FLAIR magnetic resonance.
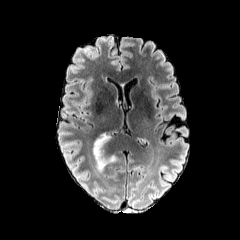
T1-weighted MR image.
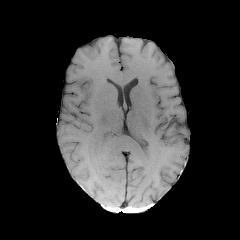
Post-contrast T1-weighted MR.
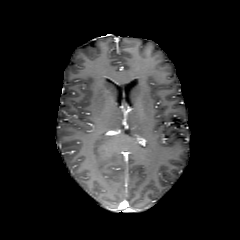
T2-weighted MRI.
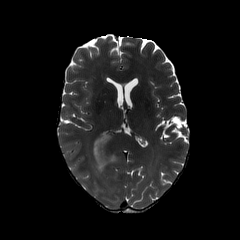
{
  "peritumoral_edema": [
    "<box>93,133,116,171</box>"
  ]
}